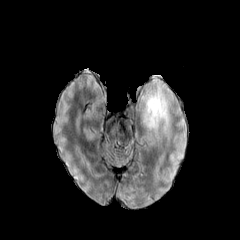
FLAIR MR image.
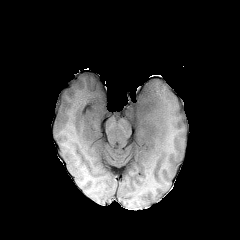
T1-weighted MRI.
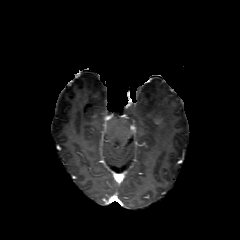
Post-contrast T1-weighted MRI.
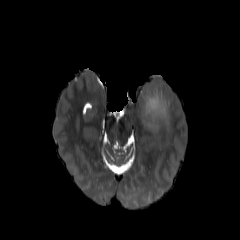
T2-weighted MRI.
peritumoral edema — 142,85,169,134